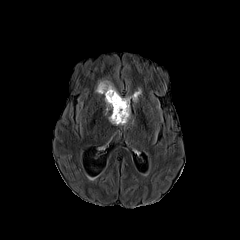
FLAIR magnetic resonance.
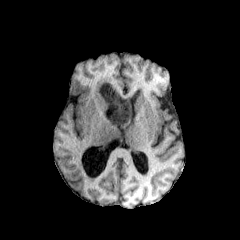
T1-weighted MRI of the same slice.
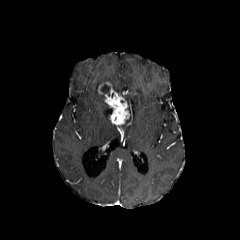
Post-contrast T1-weighted magnetic resonance of the same slice.
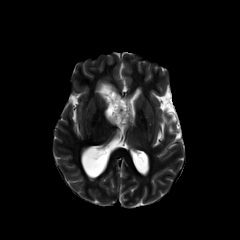
Same slice, T2-weighted MRI.
Brain
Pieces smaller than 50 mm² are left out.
necrotic_tumor_core:
  - x1=101, y1=84, x2=109, y2=93
peritumoral_edema:
  - x1=125, y1=89, x2=141, y2=116
enhancing_tumor:
  - x1=98, y1=82, x2=129, y2=125